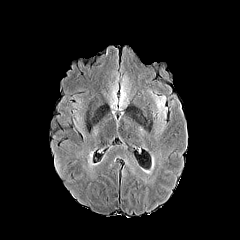
FLAIR magnetic resonance.
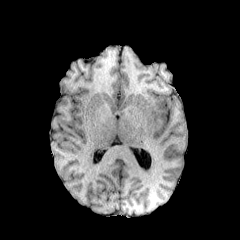
T1-weighted MR of the same slice.
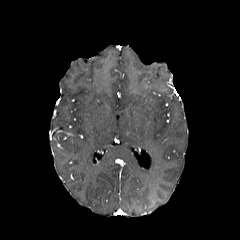
Post-contrast T1-weighted magnetic resonance.
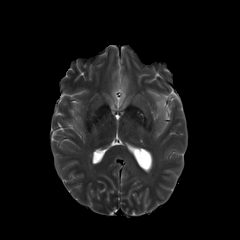
T2-weighted MRI.
Head
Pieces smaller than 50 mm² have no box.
- peritumoral edema: left=155, top=96, right=165, bottom=107